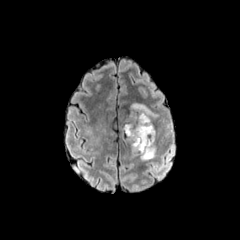
FLAIR magnetic resonance.
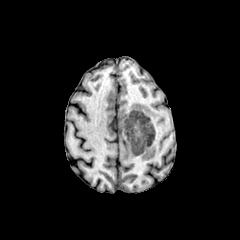
T1-weighted MRI.
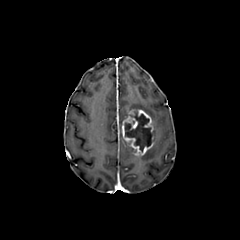
Same slice, post-contrast T1-weighted magnetic resonance.
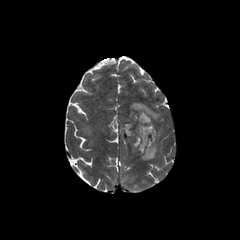
Same slice, T2-weighted MR.
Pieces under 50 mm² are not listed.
enhancing tumor at (x1=121, y1=109, x2=154, y2=155)
peritumoral edema at (x1=140, y1=128, x2=155, y2=160), (x1=130, y1=102, x2=158, y2=120)
necrotic tumor core at (x1=125, y1=112, x2=152, y2=151)